FLAIR MR.
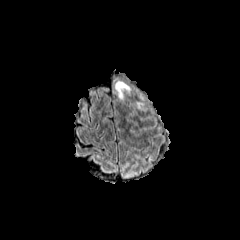
T1-weighted MR image.
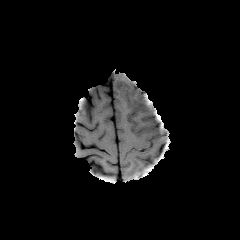
Post-contrast T1-weighted MR.
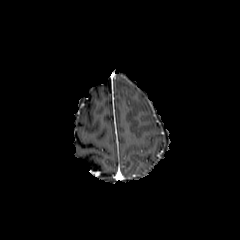
T2-weighted MR.
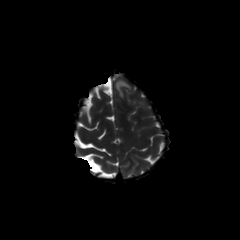
Head; Image size 240x240
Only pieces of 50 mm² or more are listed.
peritumoral_edema:
  - bbox=[115, 81, 130, 99]